FLAIR MRI.
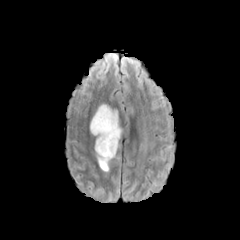
T1-weighted MR image.
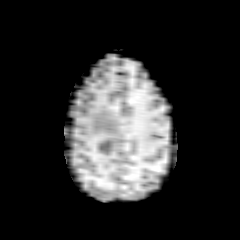
Post-contrast T1-weighted MR image.
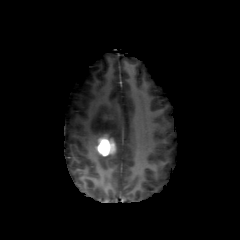
T2-weighted magnetic resonance.
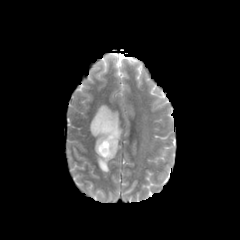
240x240, Axial view
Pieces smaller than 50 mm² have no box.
enhancing tumor: 96:135:115:156 | peritumoral edema: 90:104:121:171